FLAIR MR image.
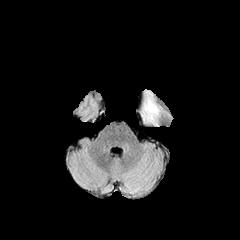
T1-weighted MRI.
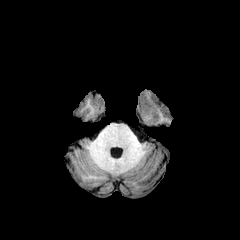
Post-contrast T1-weighted MRI.
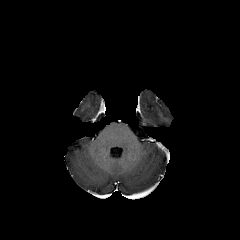
T2-weighted MRI.
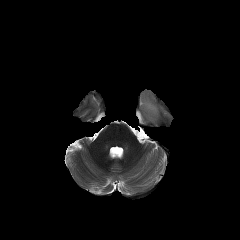
Head, 240x240
peritumoral_edema:
  - rect(142, 92, 159, 125)